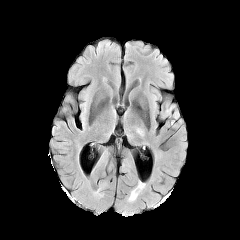
FLAIR magnetic resonance.
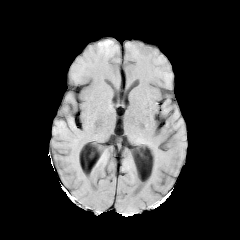
T1-weighted MR.
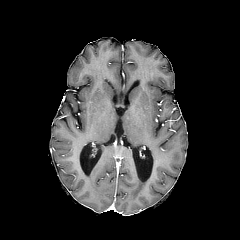
Post-contrast T1-weighted MR.
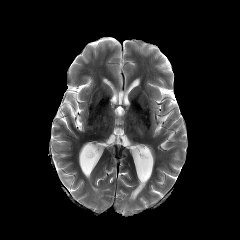
Same slice, T2-weighted MRI.
Brain
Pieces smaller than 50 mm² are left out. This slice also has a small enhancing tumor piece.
Segmented structures:
- peritumoral edema: (x1=160, y1=105, x2=178, y2=126)